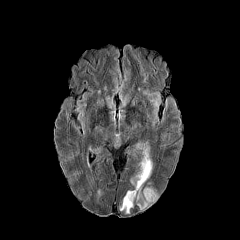
FLAIR magnetic resonance.
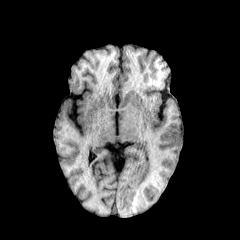
T1-weighted MRI.
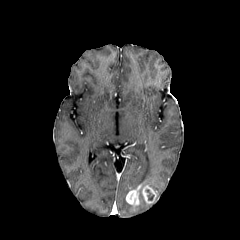
Post-contrast T1-weighted MRI of the same slice.
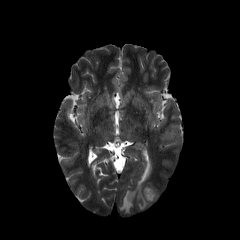
Same slice, T2-weighted MR.
240x240 px. Axial plane. Brain.
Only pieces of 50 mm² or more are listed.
{
  "necrotic_tumor_core": [
    "(146,189,154,200)"
  ],
  "peritumoral_edema": [
    "(129,142,152,187)",
    "(120,195,135,213)"
  ],
  "enhancing_tumor": [
    "(126,184,141,204)",
    "(142,185,156,203)"
  ]
}